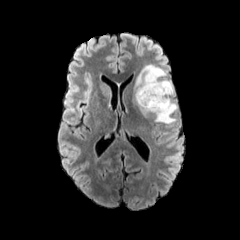
FLAIR MR.
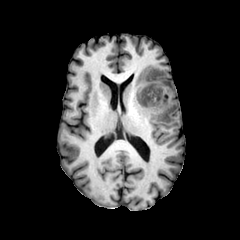
T1-weighted MRI.
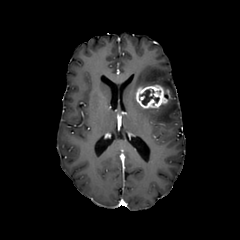
Post-contrast T1-weighted magnetic resonance of the same slice.
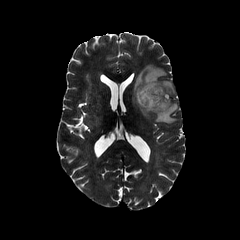
Same slice, T2-weighted MRI.
Head.
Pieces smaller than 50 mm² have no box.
The largest enhancing tumor region is at {"x1": 135, "y1": 84, "x2": 170, "y2": 108}. The largest necrotic tumor core region is bounded by {"x1": 139, "y1": 88, "x2": 159, "y2": 105}. The peritumoral edema is bounded by {"x1": 132, "y1": 65, "x2": 177, "y2": 123}.